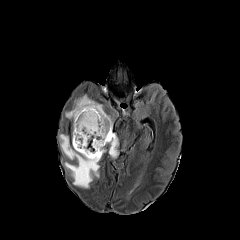
FLAIR magnetic resonance.
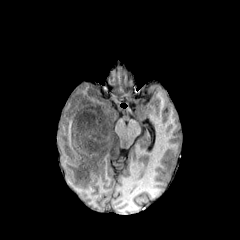
Same slice, T1-weighted magnetic resonance.
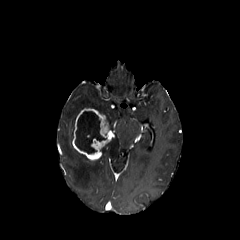
Post-contrast T1-weighted MR image.
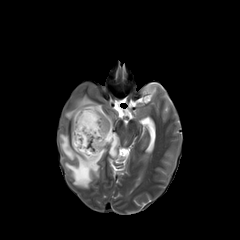
T2-weighted MR of the same slice.
Axial slice
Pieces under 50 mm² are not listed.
{
  "enhancing_tumor": [
    "[72,108,114,160]"
  ],
  "necrotic_tumor_core": [
    "[75,111,106,153]"
  ],
  "peritumoral_edema": [
    "[108,134,118,157]",
    "[59,134,100,188]",
    "[65,95,112,131]"
  ]
}